Slice index 93. Brain.
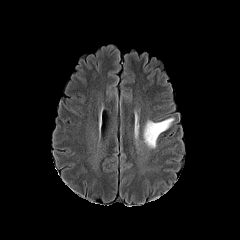
FLAIR MRI.
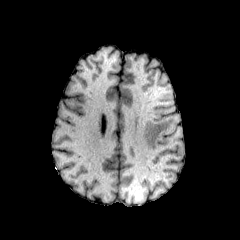
Same slice, T1-weighted MR.
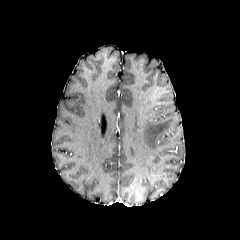
Post-contrast T1-weighted MR.
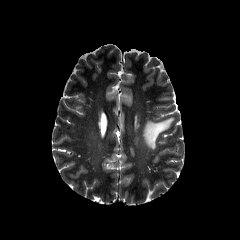
T2-weighted MR.
peritumoral edema: <box>143,118,174,148</box>